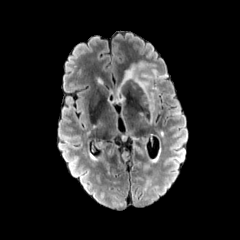
FLAIR MR image.
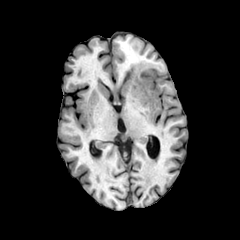
Same slice, T1-weighted magnetic resonance.
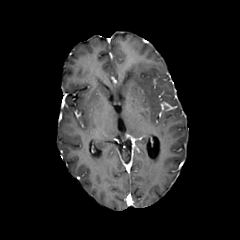
Post-contrast T1-weighted MR image.
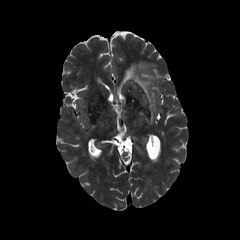
T2-weighted magnetic resonance of the same slice.
Brain | 240x240 px
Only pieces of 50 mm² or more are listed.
peritumoral edema: 124, 62, 162, 122